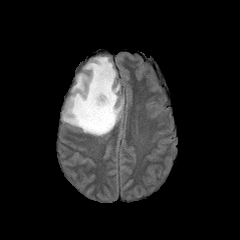
FLAIR MR.
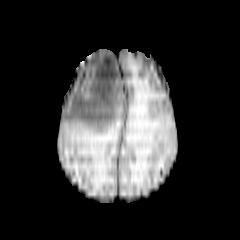
T1-weighted MR.
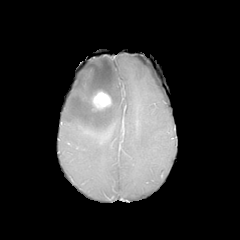
Post-contrast T1-weighted MRI of the same slice.
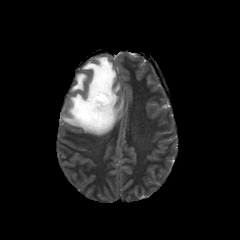
T2-weighted magnetic resonance.
Axial slice, 240x240
enhancing tumor: bounding box 91 90 111 110
peritumoral edema: bounding box 62 56 124 136